FLAIR MR image.
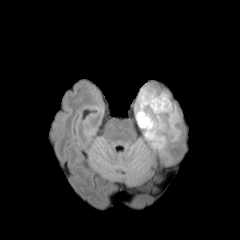
T1-weighted magnetic resonance.
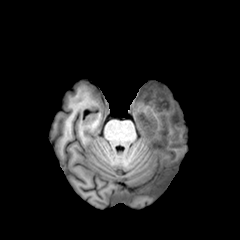
Post-contrast T1-weighted magnetic resonance.
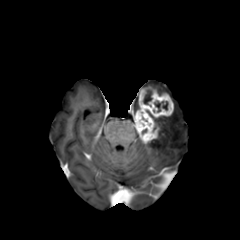
T2-weighted magnetic resonance.
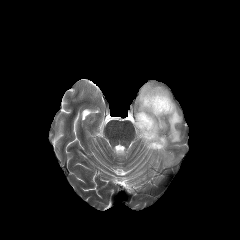
Axial view
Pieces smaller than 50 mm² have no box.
<segmentation>
  <enhancing_tumor>(134,86,173,142)</enhancing_tumor>
  <peritumoral_edema>(134,96,139,113), (142,84,167,94), (144,103,181,152)</peritumoral_edema>
  <necrotic_tumor_core>(143,90,151,104)</necrotic_tumor_core>
</segmentation>